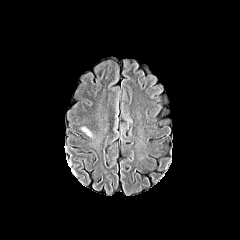
FLAIR magnetic resonance.
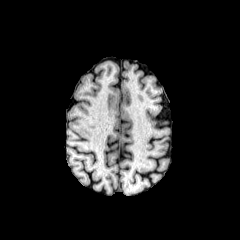
T1-weighted MR.
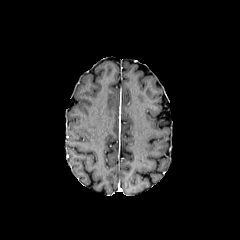
Same slice, post-contrast T1-weighted magnetic resonance.
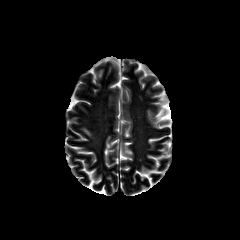
T2-weighted MR image.
240x240 px.
<segmentation>
  <peritumoral_edema><bbox>82, 128, 92, 137</bbox></peritumoral_edema>
</segmentation>